Axial plane. Image width 240 mm, 1.00 mm slice spacing. Brain.
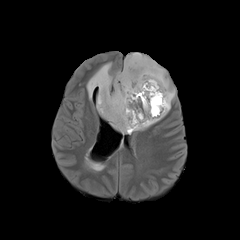
FLAIR MR.
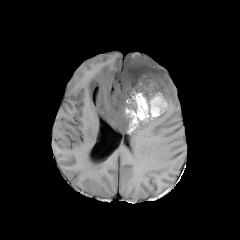
Same slice, T1-weighted magnetic resonance.
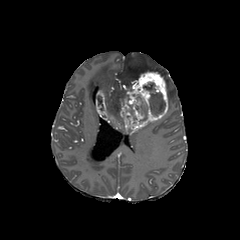
Post-contrast T1-weighted MR.
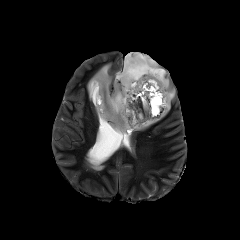
T2-weighted magnetic resonance.
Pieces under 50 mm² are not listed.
{
  "peritumoral_edema": [
    "[x1=87, y1=52, x2=175, y2=113]"
  ],
  "necrotic_tumor_core": [
    "[x1=143, y1=83, x2=165, y2=115]",
    "[x1=129, y1=105, x2=136, y2=122]",
    "[x1=135, y1=95, x2=147, y2=121]"
  ],
  "enhancing_tumor": [
    "[x1=96, y1=71, x2=168, y2=133]"
  ]
}